FLAIR MR image.
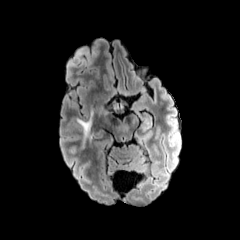
T1-weighted MRI.
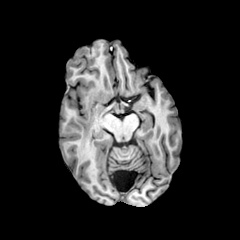
Post-contrast T1-weighted MR image.
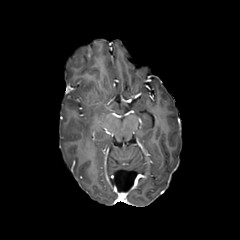
T2-weighted MRI.
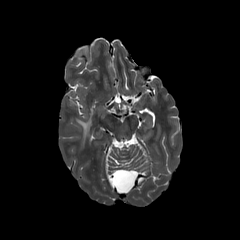
Axial slice | Brain
peritumoral edema: x1=77, y1=110, x2=93, y2=137